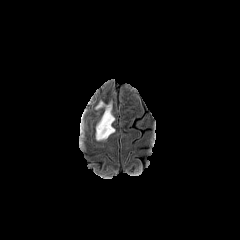
FLAIR MRI.
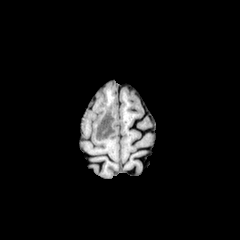
T1-weighted MR.
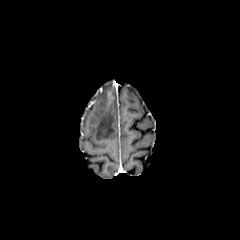
Post-contrast T1-weighted MRI of the same slice.
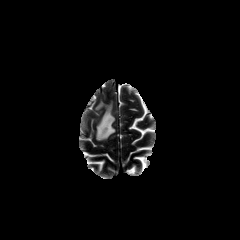
T2-weighted MRI.
Head
{"peritumoral_edema": ["(x1=96, y1=102, x2=115, y2=140)"]}